Axial slice
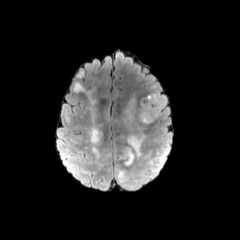
FLAIR magnetic resonance.
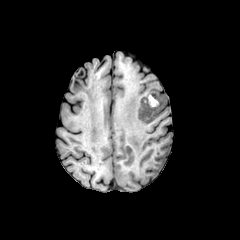
Same slice, T1-weighted MRI.
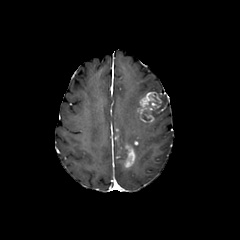
Post-contrast T1-weighted MR image.
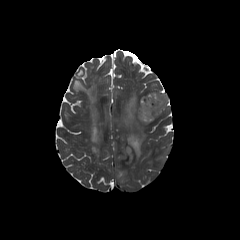
T2-weighted MRI.
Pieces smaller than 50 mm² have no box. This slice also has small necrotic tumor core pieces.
2 enhancing tumor regions are located at <box>123,145,135,167</box>, <box>137,92,161,122</box>. The 4 largest peritumoral edema regions are bounded by <box>127,132,145,158</box>, <box>159,146,168,164</box>, <box>117,170,128,183</box>, <box>155,92,168,118</box>.